Brain. Axial plane. Image width 240 mm, 1.00 mm slice spacing.
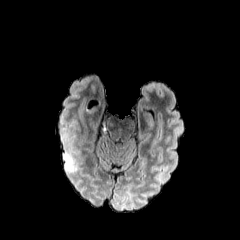
FLAIR MR image.
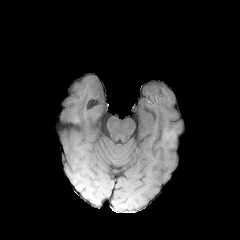
T1-weighted magnetic resonance.
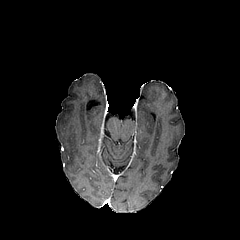
Post-contrast T1-weighted magnetic resonance.
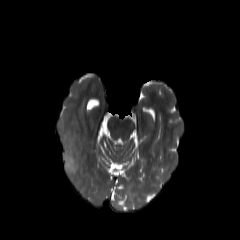
T2-weighted MRI.
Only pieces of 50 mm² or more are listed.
Findings:
- peritumoral edema: region(63, 138, 77, 173)